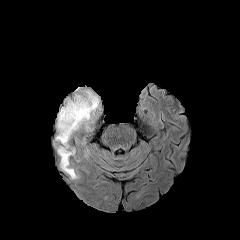
FLAIR magnetic resonance.
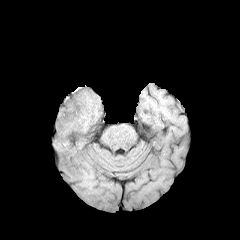
Same slice, T1-weighted MR image.
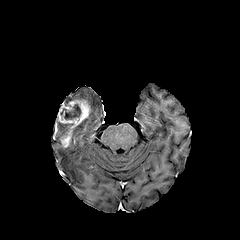
Post-contrast T1-weighted MR image.
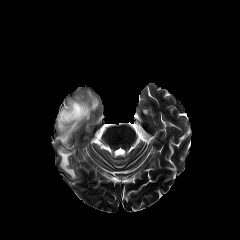
Same slice, T2-weighted MR.
Axial slice; 240x240 px; Brain
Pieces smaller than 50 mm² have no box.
The largest necrotic tumor core region is bounded by <box>64,104,80,119</box>. The enhancing tumor is located at <box>57,99,90,148</box>. 3 peritumoral edema regions appear at <box>58,146,77,178</box>, <box>56,122,72,142</box>, <box>65,90,99,132</box>.